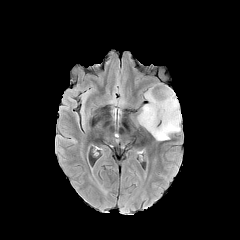
FLAIR magnetic resonance.
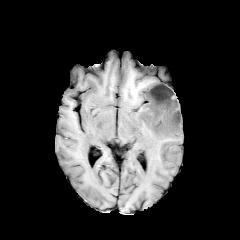
T1-weighted MR.
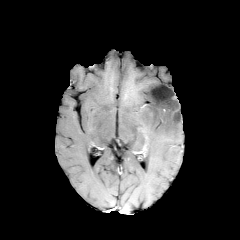
Post-contrast T1-weighted MR image of the same slice.
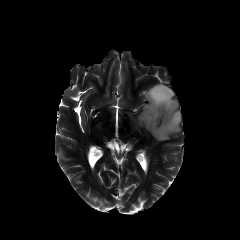
T2-weighted MR image.
240x240 px
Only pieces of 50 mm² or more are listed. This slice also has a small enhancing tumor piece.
The largest peritumoral edema region appears at left=138, top=84, right=181, bottom=140. The necrotic tumor core appears at left=149, top=85, right=175, bottom=110.